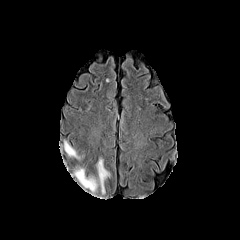
FLAIR MRI.
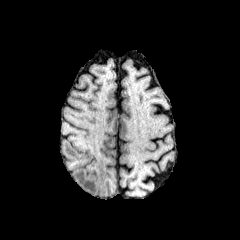
T1-weighted MR of the same slice.
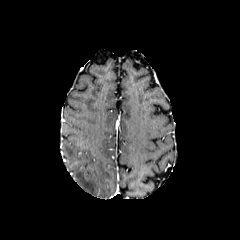
Post-contrast T1-weighted MRI of the same slice.
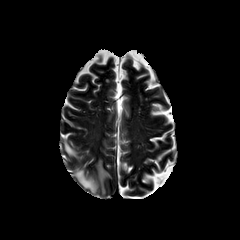
T2-weighted MR of the same slice.
Brain, Axial slice
peritumoral edema — (left=64, top=141, right=79, bottom=159), (left=75, top=158, right=110, bottom=194)